Slice index 68 | Brain
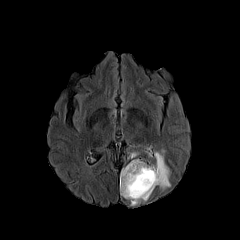
FLAIR magnetic resonance.
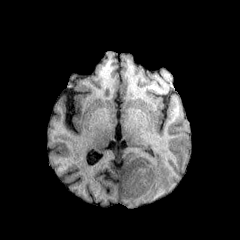
T1-weighted magnetic resonance.
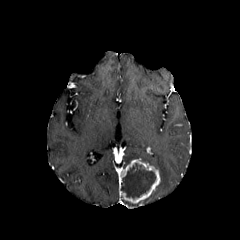
Same slice, post-contrast T1-weighted MRI.
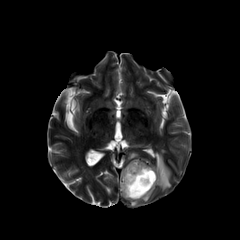
Same slice, T2-weighted magnetic resonance.
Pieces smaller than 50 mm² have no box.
{
  "peritumoral_edema": [
    "l=153, t=149, r=170, b=190",
    "l=128, t=151, r=138, b=159"
  ],
  "necrotic_tumor_core": [
    "l=121, t=163, r=155, b=198"
  ],
  "enhancing_tumor": [
    "l=119, t=159, r=160, b=203"
  ]
}